Head, Image size 240x240, Slice 41 of 155
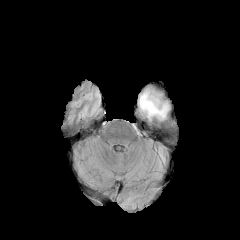
FLAIR magnetic resonance.
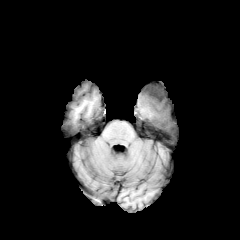
T1-weighted MR image.
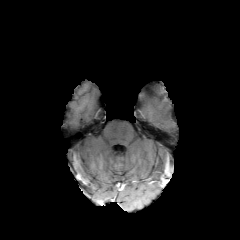
Post-contrast T1-weighted MR.
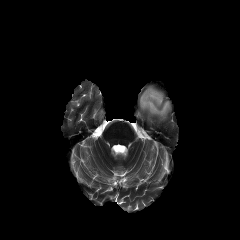
T2-weighted magnetic resonance of the same slice.
necrotic tumor core: (149, 90, 159, 97)
peritumoral edema: (138, 87, 169, 120)